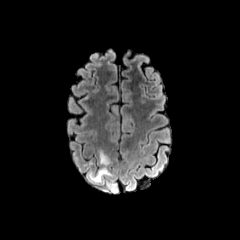
FLAIR magnetic resonance.
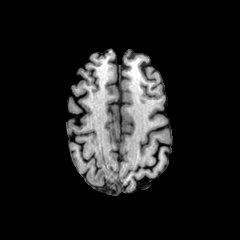
T1-weighted MR image.
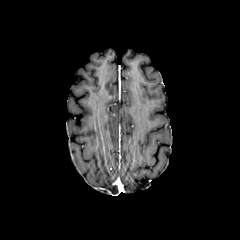
Post-contrast T1-weighted MR.
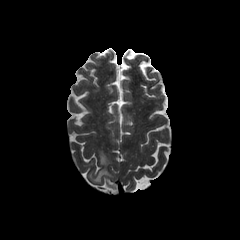
Same slice, T2-weighted MRI.
Brain
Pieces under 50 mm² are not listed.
<segmentation>
  <peritumoral_edema>box=[89, 167, 111, 182]; box=[99, 150, 110, 165]</peritumoral_edema>
</segmentation>